Axial plane; Slice 55/155
FLAIR MR.
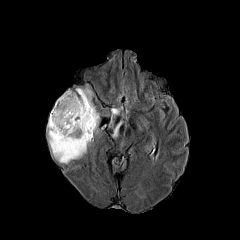
T1-weighted MR image.
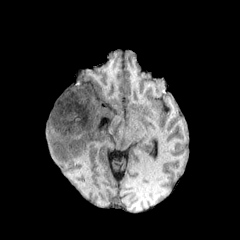
Post-contrast T1-weighted MRI.
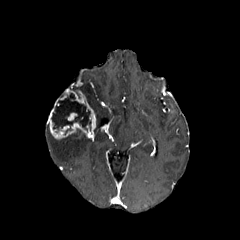
T2-weighted MRI.
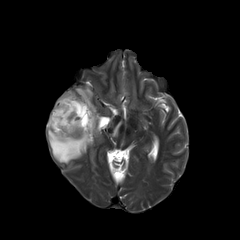
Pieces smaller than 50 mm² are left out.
The largest necrotic tumor core region is located at [51, 93, 90, 129]. The 3 largest peritumoral edema regions are located at [75, 86, 99, 125], [47, 124, 92, 163], [113, 121, 122, 136]. The 2 largest enhancing tumor regions are bounded by [67, 112, 77, 120], [47, 89, 96, 139].